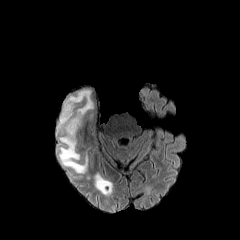
FLAIR MRI.
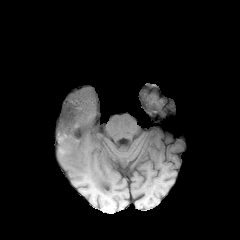
T1-weighted MR image of the same slice.
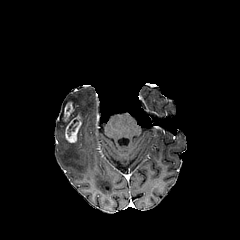
Post-contrast T1-weighted MRI of the same slice.
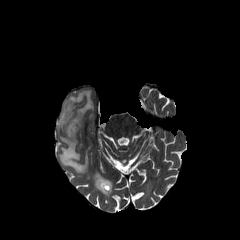
T2-weighted MR.
240x240
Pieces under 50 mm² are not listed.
<segmentation>
  <enhancing_tumor>left=63, top=102, right=81, bottom=143</enhancing_tumor>
  <necrotic_tumor_core>left=68, top=120, right=77, bottom=136</necrotic_tumor_core>
  <peritumoral_edema>left=94, top=173, right=112, bottom=194; left=57, top=90, right=93, bottom=173</peritumoral_edema>
</segmentation>